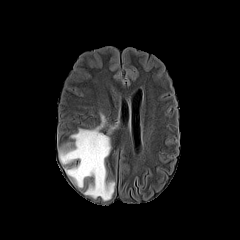
FLAIR MRI.
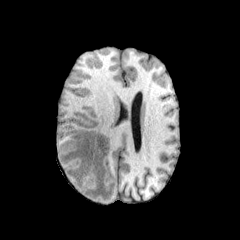
T1-weighted MRI.
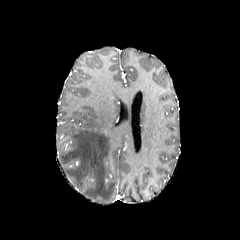
Post-contrast T1-weighted MR.
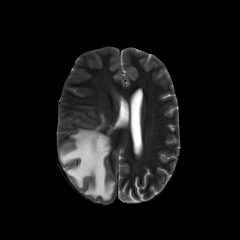
Same slice, T2-weighted MRI.
Head | Image size 240x240
<segmentation>
  <peritumoral_edema>[59,114,114,200]</peritumoral_edema>
</segmentation>